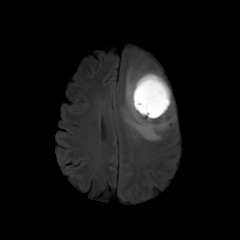
FLAIR MR image.
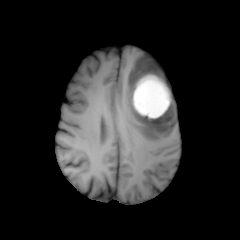
Same slice, T1-weighted MR image.
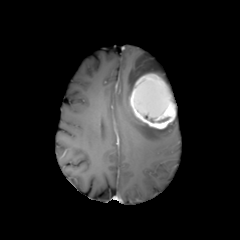
Post-contrast T1-weighted MRI of the same slice.
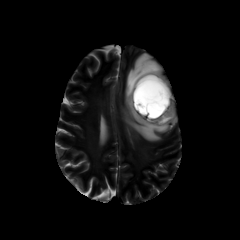
T2-weighted MRI.
Head
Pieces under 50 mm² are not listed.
The largest peritumoral edema region lies within l=122, t=54, r=176, b=141. The necrotic tumor core lies within l=145, t=115, r=171, b=123. The enhancing tumor lies within l=129, t=73, r=175, b=129.